FLAIR magnetic resonance.
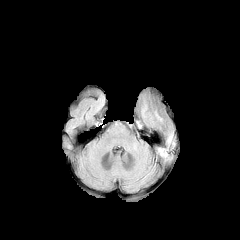
T1-weighted magnetic resonance.
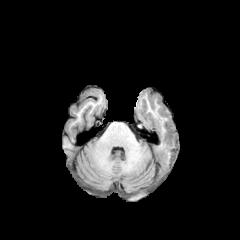
Post-contrast T1-weighted MR image.
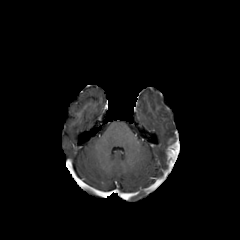
T2-weighted MR.
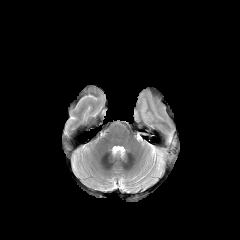
Head, 240x240
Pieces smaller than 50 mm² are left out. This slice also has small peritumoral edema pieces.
- enhancing tumor: [x1=167, y1=142, x2=177, y2=165]